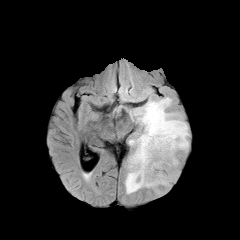
FLAIR MRI.
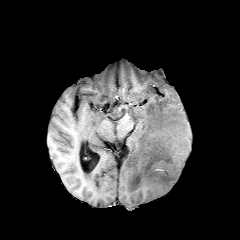
T1-weighted MR of the same slice.
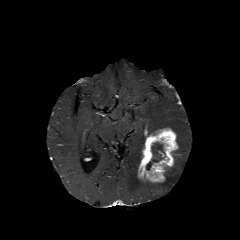
Post-contrast T1-weighted MRI of the same slice.
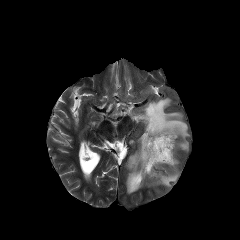
T2-weighted MRI.
Head
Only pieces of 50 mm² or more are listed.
peritumoral edema at (left=129, top=97, right=189, bottom=153), (left=125, top=131, right=179, bottom=194)
enhancing tumor at (left=137, top=127, right=178, bottom=183)
necrotic tumor core at (left=152, top=143, right=162, bottom=162)